FLAIR MR.
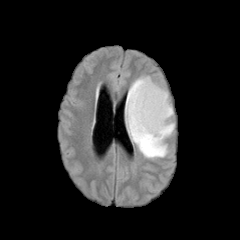
T1-weighted MR.
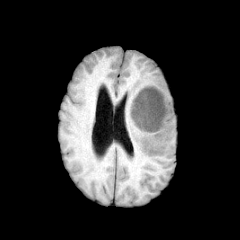
Post-contrast T1-weighted MR.
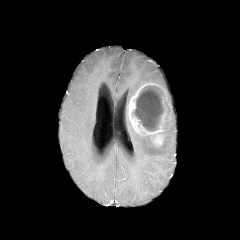
T2-weighted MR image.
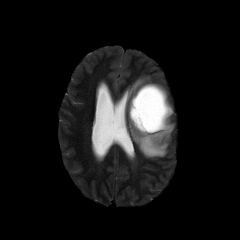
Axial slice
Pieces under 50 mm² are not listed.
The enhancing tumor is located at (128, 83, 171, 146). The 2 largest peritumoral edema regions are located at (163, 107, 174, 139), (125, 76, 168, 159). The necrotic tumor core appears at (133, 86, 164, 131).